Image size 240x240; Head; Axial plane; Slice 75/155; Image covers 240 mm x 240 mm
FLAIR MR image.
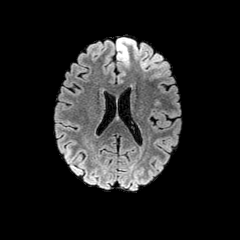
T1-weighted MRI.
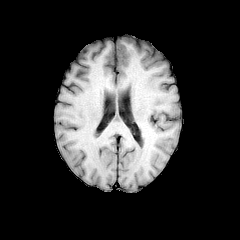
Post-contrast T1-weighted magnetic resonance.
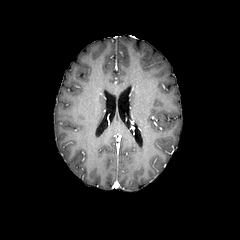
T2-weighted MR.
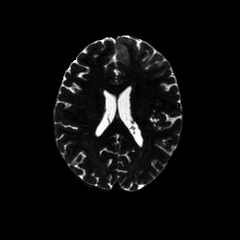
peritumoral edema: [116, 37, 140, 66]